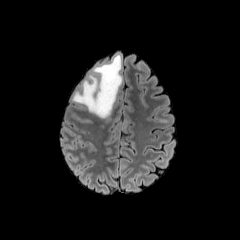
FLAIR MR image.
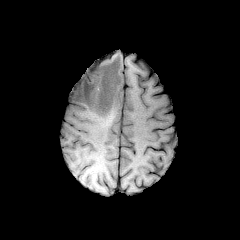
T1-weighted MRI of the same slice.
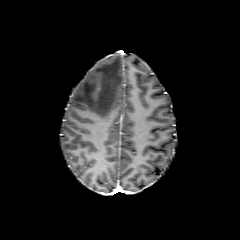
Post-contrast T1-weighted MRI.
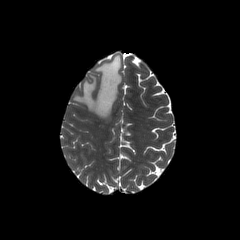
Same slice, T2-weighted MRI.
Axial view, Brain
peritumoral edema: left=72, top=54, right=122, bottom=118